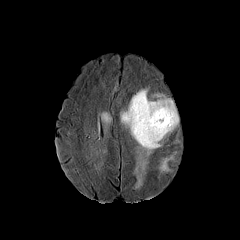
FLAIR MRI.
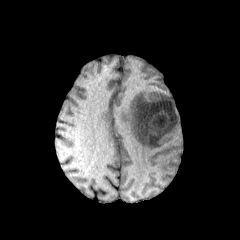
Same slice, T1-weighted MR image.
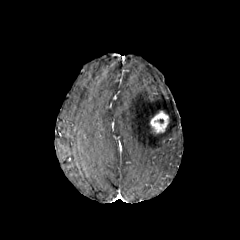
Post-contrast T1-weighted magnetic resonance.
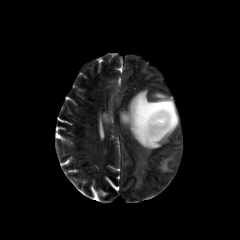
T2-weighted MR image.
Brain
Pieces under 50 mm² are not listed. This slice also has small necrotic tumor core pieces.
enhancing tumor at 149 110 169 134
peritumoral edema at 102 112 113 122, 120 88 179 188